FLAIR MR.
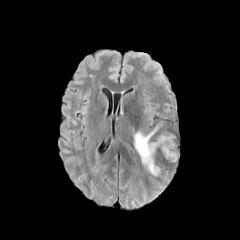
T1-weighted MRI.
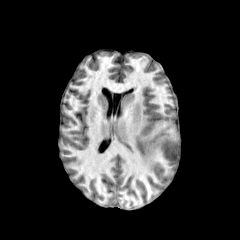
Post-contrast T1-weighted MR.
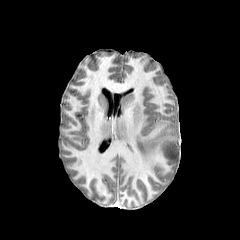
T2-weighted MR.
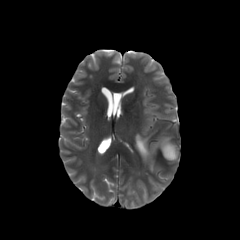
Brain | 240x240 | Axial view
The peritumoral edema is bounded by <box>134,120,177,174</box>.